Head; Slice 75 of 155; 240x240; Axial plane
FLAIR MRI.
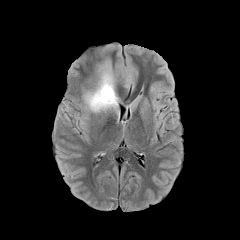
T1-weighted MRI.
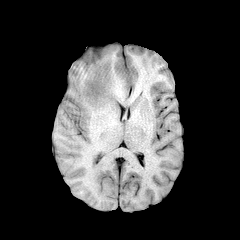
Post-contrast T1-weighted MRI.
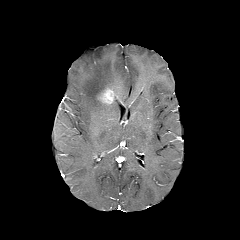
T2-weighted MR image.
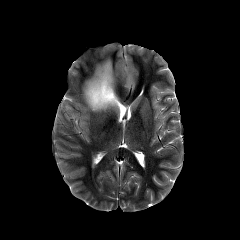
The peritumoral edema is located at 84,61,118,112. The enhancing tumor appears at 98,88,114,104.